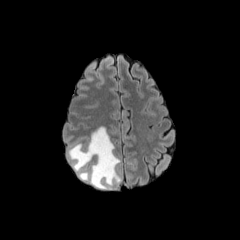
FLAIR MRI.
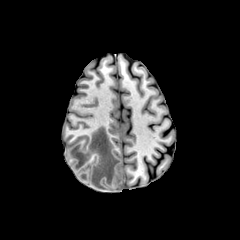
T1-weighted MRI.
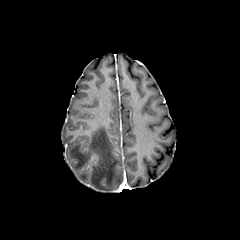
Post-contrast T1-weighted MRI.
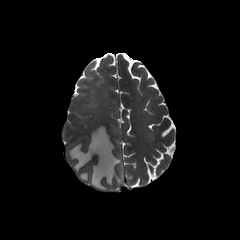
T2-weighted MR image.
peritumoral edema: 68, 126, 121, 189